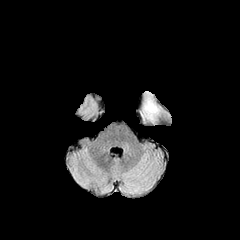
FLAIR MR.
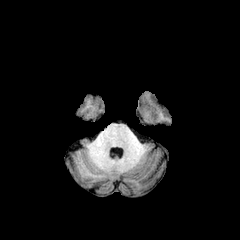
T1-weighted MR image of the same slice.
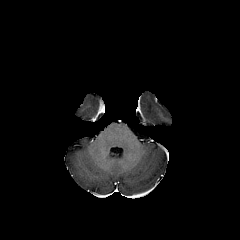
Post-contrast T1-weighted MR of the same slice.
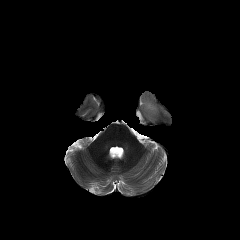
Same slice, T2-weighted MR.
<segmentation>
  <peritumoral_edema>143,93,159,121</peritumoral_edema>
</segmentation>